Image covers 240 mm x 240 mm
FLAIR MR.
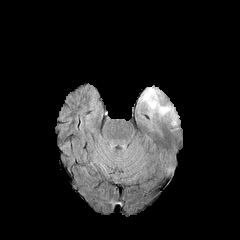
T1-weighted magnetic resonance.
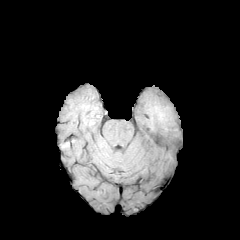
Post-contrast T1-weighted MRI.
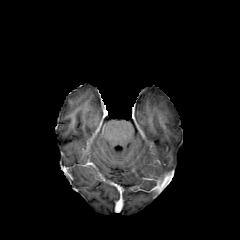
T2-weighted MRI.
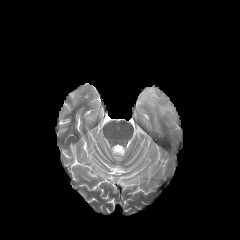
The peritumoral edema is at (x1=140, y1=87, x2=175, y2=124).